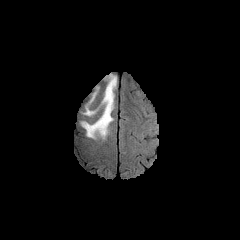
FLAIR MRI.
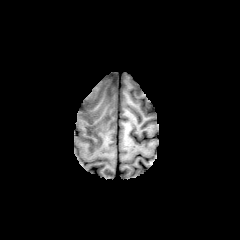
T1-weighted MRI.
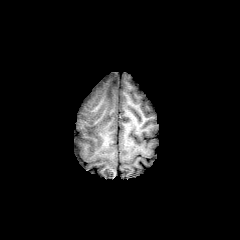
Post-contrast T1-weighted magnetic resonance.
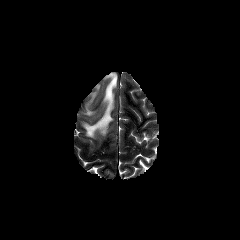
Same slice, T2-weighted MR image.
Head
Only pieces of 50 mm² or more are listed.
* peritumoral edema: (82,74,116,137)